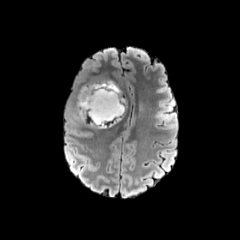
FLAIR magnetic resonance.
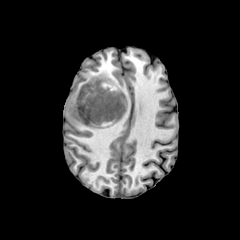
T1-weighted MRI.
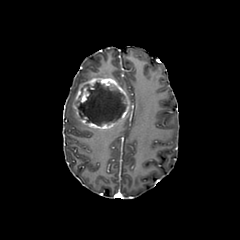
Post-contrast T1-weighted MR image of the same slice.
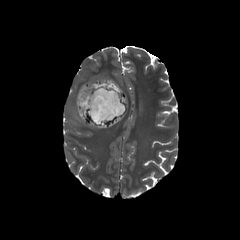
Same slice, T2-weighted MR.
240x240
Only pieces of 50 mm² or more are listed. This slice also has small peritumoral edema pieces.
The enhancing tumor is bounded by bbox(73, 78, 129, 129). The largest necrotic tumor core region is located at bbox(77, 82, 126, 125).